Axial slice
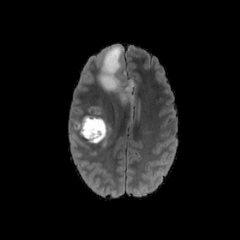
FLAIR MR image.
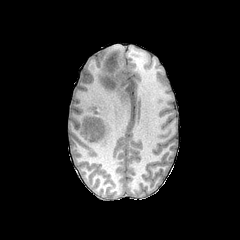
T1-weighted MR image of the same slice.
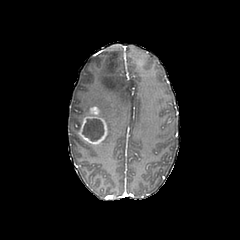
Post-contrast T1-weighted MR.
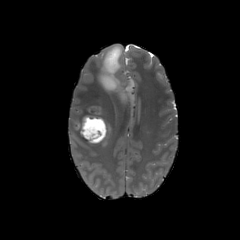
Same slice, T2-weighted MRI.
The necrotic tumor core lies within (82, 119, 103, 140). 2 peritumoral edema regions are bounded by (68, 97, 111, 147), (96, 45, 137, 126). The enhancing tumor is located at (78, 106, 107, 144).